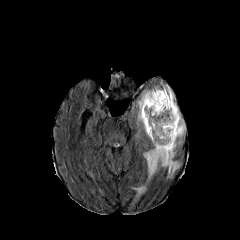
FLAIR MR image.
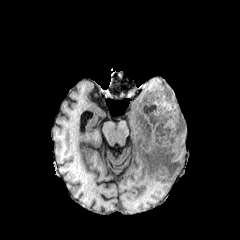
T1-weighted MR image of the same slice.
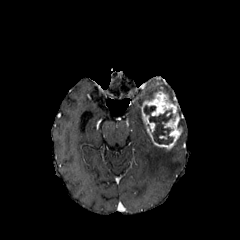
Post-contrast T1-weighted MRI.
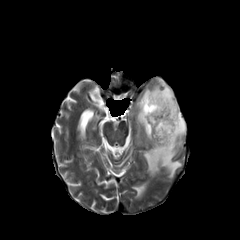
Same slice, T2-weighted magnetic resonance.
Axial slice. Head. Image size 240x240.
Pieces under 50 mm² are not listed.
The largest enhancing tumor region is located at x1=141, y1=91, x2=182, y2=150. The largest necrotic tumor core region appears at x1=144, y1=105, x2=175, y2=144. The largest peritumoral edema region appears at x1=132, y1=85, x2=185, y2=197.